Image covers 240 mm x 240 mm. Axial view. Head.
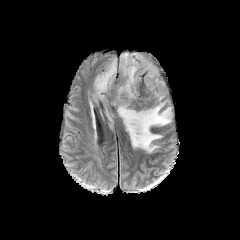
FLAIR MRI.
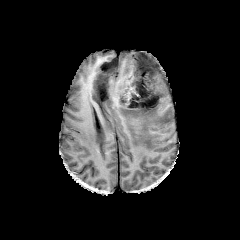
Same slice, T1-weighted MR image.
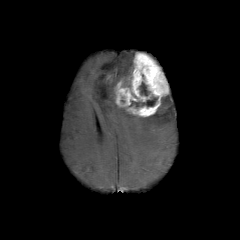
Post-contrast T1-weighted MR.
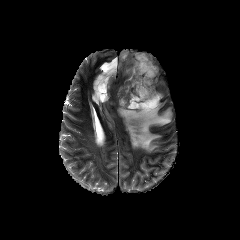
T2-weighted magnetic resonance of the same slice.
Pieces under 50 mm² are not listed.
peritumoral edema: (left=92, top=52, right=172, bottom=152) | necrotic tumor core: (left=129, top=97, right=157, bottom=107), (left=140, top=82, right=148, bottom=95) | enhancing tumor: (left=115, top=52, right=168, bottom=117)